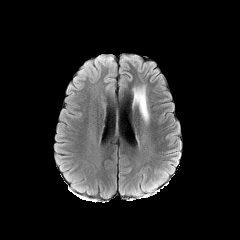
FLAIR MRI.
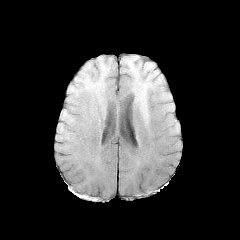
T1-weighted MR.
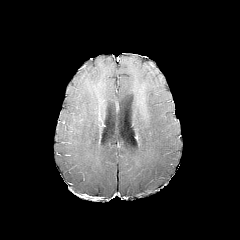
Post-contrast T1-weighted MRI.
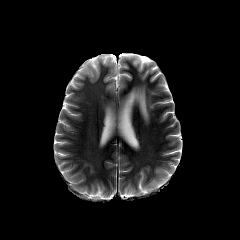
T2-weighted MRI.
Head
The peritumoral edema is located at bbox(133, 87, 148, 121).